240x240; Head
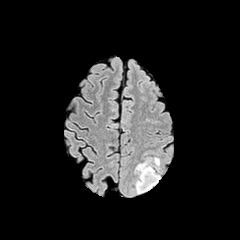
FLAIR MR.
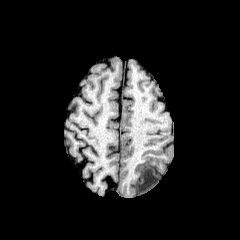
T1-weighted MR image.
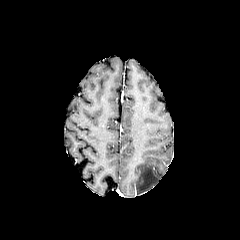
Post-contrast T1-weighted magnetic resonance of the same slice.
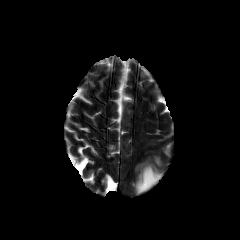
Same slice, T2-weighted MR.
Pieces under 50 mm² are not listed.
{
  "peritumoral_edema": [
    "x1=136 y1=162 x2=160 y2=193"
  ]
}